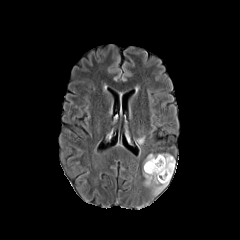
FLAIR MR image.
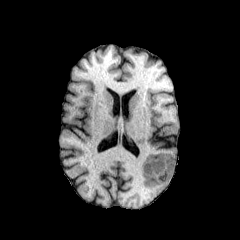
T1-weighted MR.
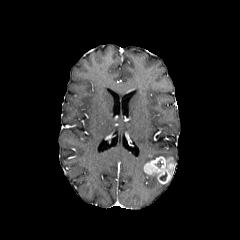
Post-contrast T1-weighted MR image.
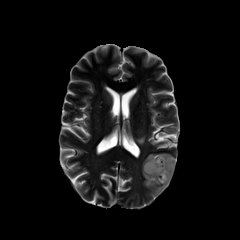
T2-weighted MR.
Axial plane; Brain
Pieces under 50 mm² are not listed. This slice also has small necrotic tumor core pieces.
The enhancing tumor lies within [x1=143, y1=156, x2=175, y2=184]. The 3 largest peritumoral edema regions appear at [x1=143, y1=153, x2=172, y2=167], [x1=136, y1=137, x2=144, y2=144], [x1=143, y1=169, x2=168, y2=195].